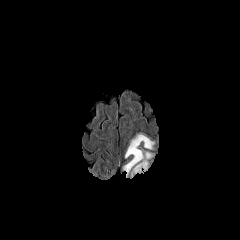
FLAIR MR image.
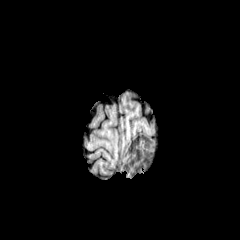
T1-weighted magnetic resonance.
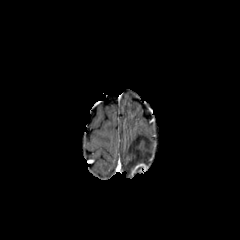
Post-contrast T1-weighted MRI.
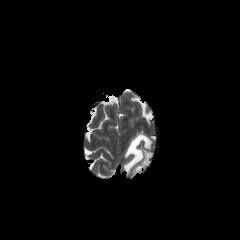
T2-weighted magnetic resonance of the same slice.
Axial view, Head
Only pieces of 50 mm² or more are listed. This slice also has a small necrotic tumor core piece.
peritumoral edema = x1=123, y1=133, x2=155, y2=172
enhancing tumor = x1=131, y1=163, x2=146, y2=174